Image width 240 mm | Axial plane | Brain
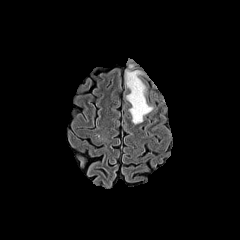
FLAIR magnetic resonance.
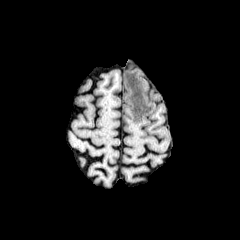
T1-weighted MRI.
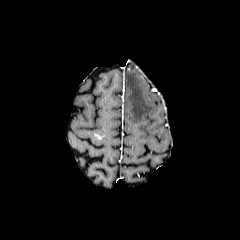
Post-contrast T1-weighted MRI of the same slice.
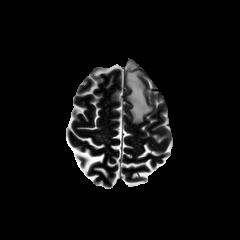
T2-weighted MR.
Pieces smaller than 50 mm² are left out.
Segmented structures:
- peritumoral edema: [x1=126, y1=70, x2=152, y2=123]